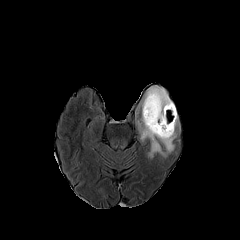
FLAIR magnetic resonance.
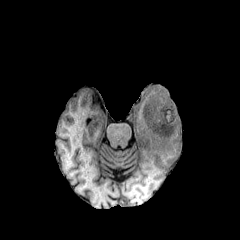
T1-weighted MRI.
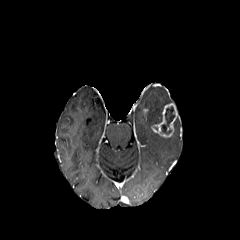
Same slice, post-contrast T1-weighted MR.
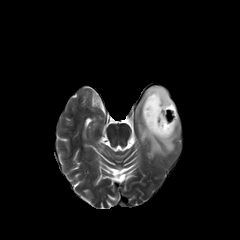
Same slice, T2-weighted MR image.
Brain; Axial slice
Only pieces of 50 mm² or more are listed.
<segmentation>
  <peritumoral_edema>(x1=138, y1=86, x2=176, y2=158)</peritumoral_edema>
  <necrotic_tumor_core>(x1=161, y1=106, x2=174, y2=133)</necrotic_tumor_core>
  <enhancing_tumor>(x1=151, y1=102, x2=178, y2=137)</enhancing_tumor>
</segmentation>